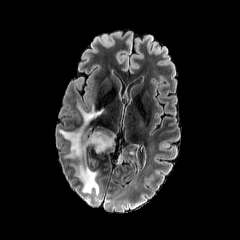
FLAIR MRI.
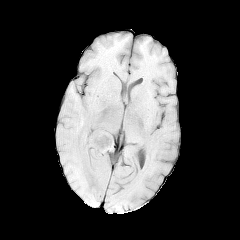
T1-weighted MR image.
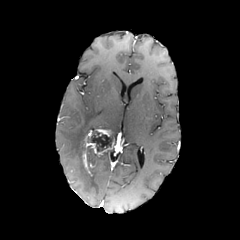
Same slice, post-contrast T1-weighted MRI.
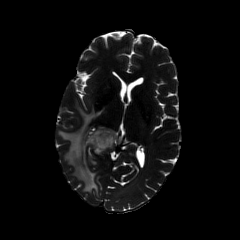
T2-weighted magnetic resonance.
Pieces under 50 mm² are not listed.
peritumoral edema: 59,105,103,193 | necrotic tumor core: 90,133,111,151 | enhancing tumor: 82,128,115,175